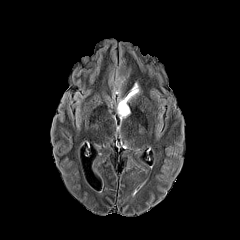
FLAIR MRI.
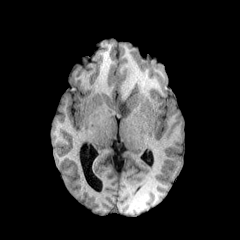
T1-weighted MR.
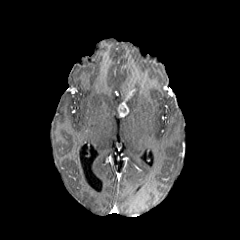
Same slice, post-contrast T1-weighted MR.
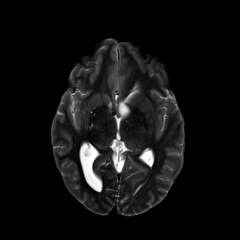
T2-weighted MR.
Head; Axial slice
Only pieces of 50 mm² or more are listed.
peritumoral_edema:
  - 126, 83, 139, 103
enhancing_tumor:
  - 117, 89, 134, 117